FLAIR magnetic resonance.
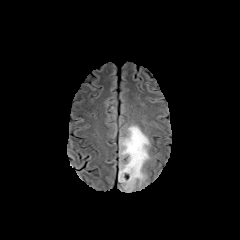
T1-weighted MR image.
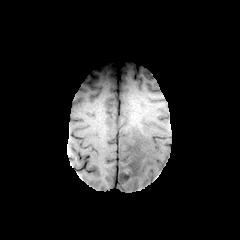
Post-contrast T1-weighted MR.
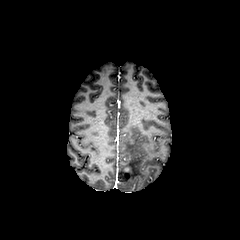
T2-weighted MR.
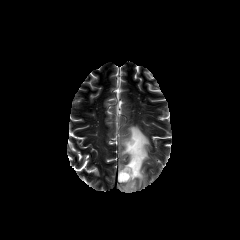
Axial plane
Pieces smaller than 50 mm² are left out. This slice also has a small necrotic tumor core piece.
The peritumoral edema is located at bbox=[118, 125, 149, 192].